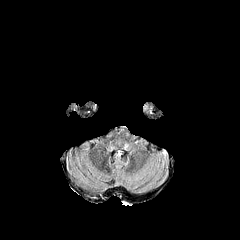
FLAIR MRI.
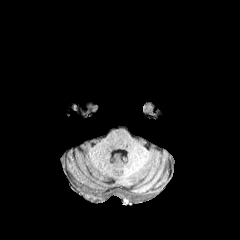
T1-weighted magnetic resonance.
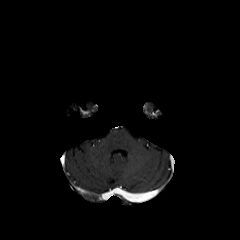
Post-contrast T1-weighted MR.
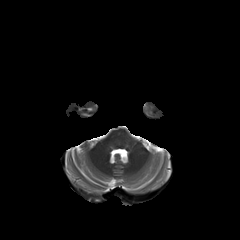
T2-weighted MR.
The peritumoral edema is at region(143, 103, 152, 112).